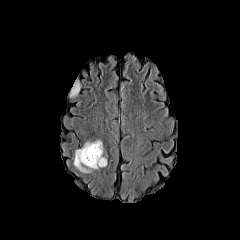
FLAIR MR image.
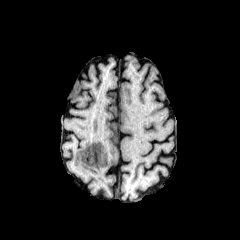
T1-weighted magnetic resonance.
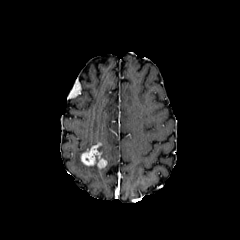
Post-contrast T1-weighted magnetic resonance.
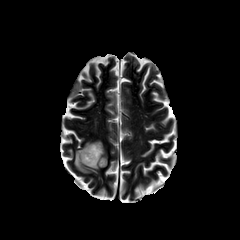
T2-weighted MRI of the same slice.
Brain.
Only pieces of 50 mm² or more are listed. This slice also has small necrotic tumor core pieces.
<segmentation>
  <peritumoral_edema>73, 138, 107, 173</peritumoral_edema>
  <enhancing_tumor>80, 142, 107, 168</enhancing_tumor>
</segmentation>